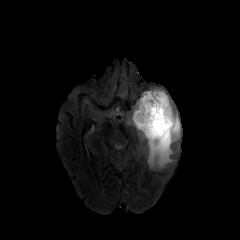
FLAIR magnetic resonance.
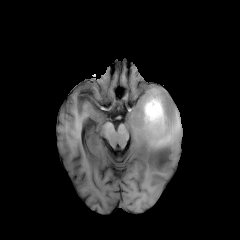
T1-weighted MR image.
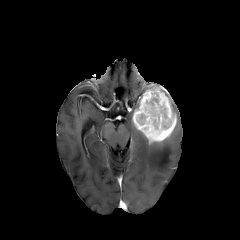
Post-contrast T1-weighted MRI.
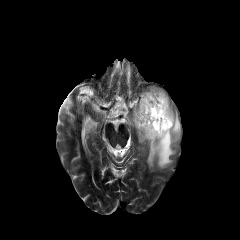
T2-weighted MR image.
240x240, Axial view
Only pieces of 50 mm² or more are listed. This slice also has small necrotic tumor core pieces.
peritumoral_edema:
  - region(137, 101, 181, 168)
  - region(127, 95, 141, 126)
enhancing_tumor:
  - region(132, 86, 176, 143)